Brain | Slice 89 of 155 | Axial view | 240x240 px
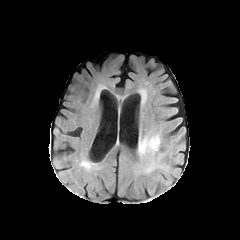
FLAIR MRI.
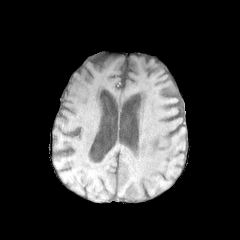
T1-weighted MRI of the same slice.
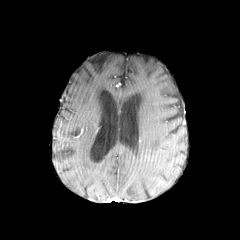
Post-contrast T1-weighted magnetic resonance.
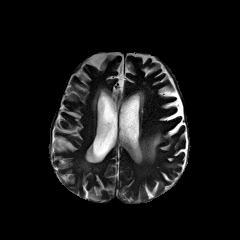
T2-weighted MR image.
peritumoral edema — x1=138, y1=134, x2=160, y2=160